FLAIR MRI.
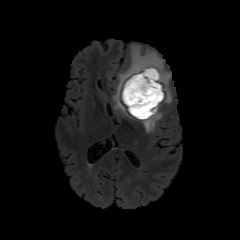
T1-weighted magnetic resonance.
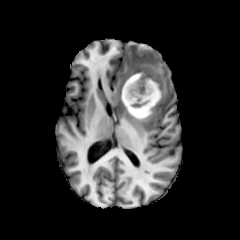
Post-contrast T1-weighted MR.
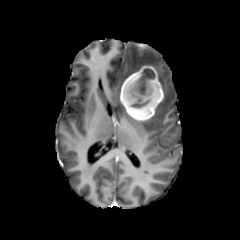
T2-weighted MR image.
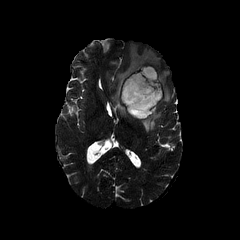
The enhancing tumor appears at rect(120, 66, 163, 120). The necrotic tumor core is bounded by rect(123, 69, 159, 117). 2 peritumoral edema regions appear at rect(141, 104, 161, 132); rect(112, 45, 172, 117).